FLAIR magnetic resonance.
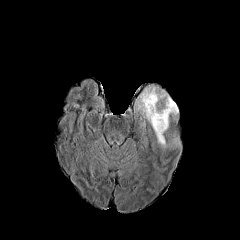
T1-weighted magnetic resonance.
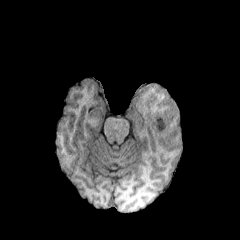
Post-contrast T1-weighted MR.
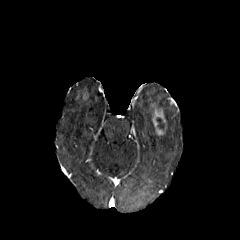
T2-weighted MR image.
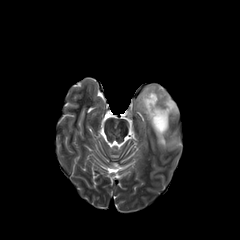
Axial slice. Head. 240x240 px.
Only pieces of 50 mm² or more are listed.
necrotic_tumor_core:
  - box(157, 118, 164, 128)
peritumoral_edema:
  - box(136, 85, 178, 133)
  - box(156, 135, 167, 148)
enhancing_tumor:
  - box(151, 105, 167, 136)